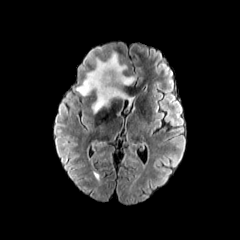
FLAIR magnetic resonance.
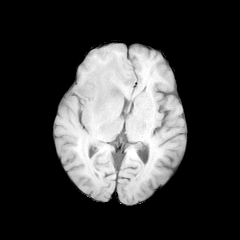
Same slice, T1-weighted magnetic resonance.
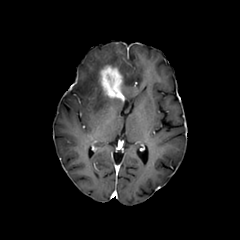
Post-contrast T1-weighted MR.
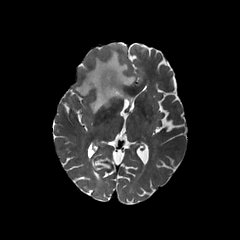
Same slice, T2-weighted MR image.
Head. Image size 240x240.
{
  "necrotic_tumor_core": [
    "x1=106, y1=73, x2=116, y2=93"
  ],
  "enhancing_tumor": [
    "x1=98, y1=64, x2=124, y2=100"
  ],
  "peritumoral_edema": [
    "x1=122, y1=88, x2=133, y2=106",
    "x1=76, y1=50, x2=134, y2=114"
  ]
}